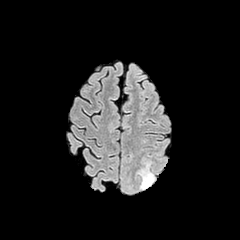
FLAIR MR.
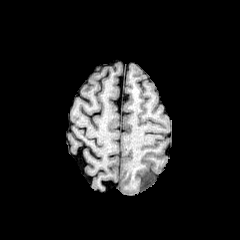
Same slice, T1-weighted MRI.
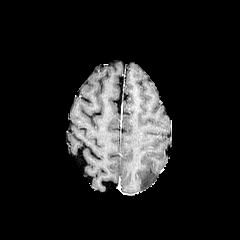
Post-contrast T1-weighted MRI.
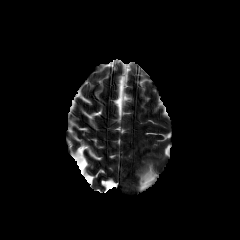
T2-weighted magnetic resonance of the same slice.
Head
peritumoral edema — <box>139,164,155,189</box>